FLAIR MR image.
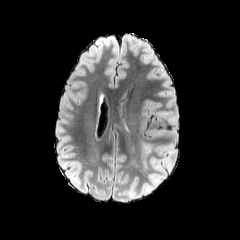
T1-weighted MRI.
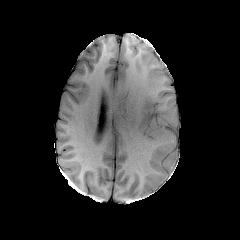
Post-contrast T1-weighted MR image.
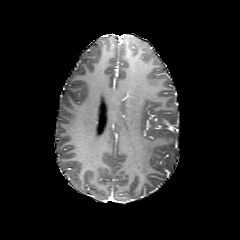
T2-weighted MR image.
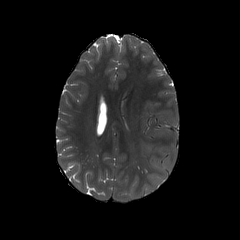
Brain
The peritumoral edema is at (143,144,149,168).